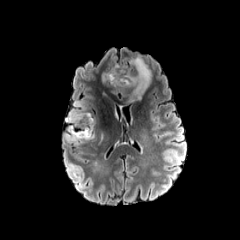
FLAIR MRI.
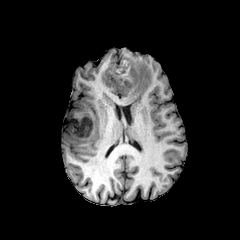
T1-weighted MR.
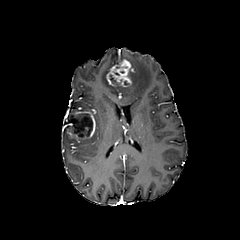
Same slice, post-contrast T1-weighted magnetic resonance.
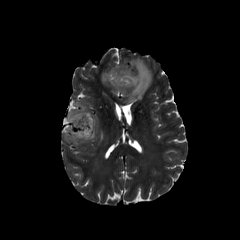
T2-weighted MRI.
240x240
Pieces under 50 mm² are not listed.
necrotic tumor core: (67, 113, 92, 137)
peritumoral edema: (128, 56, 151, 101)
enhancing tumor: (106, 59, 133, 87), (67, 110, 95, 140)